FLAIR MR image.
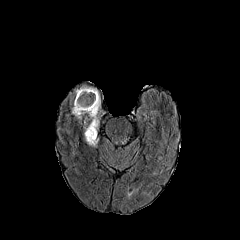
T1-weighted MR.
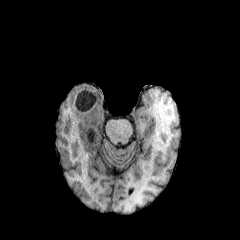
Post-contrast T1-weighted magnetic resonance.
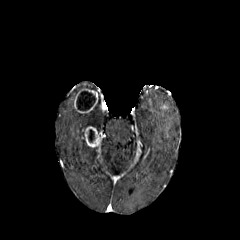
T2-weighted MRI.
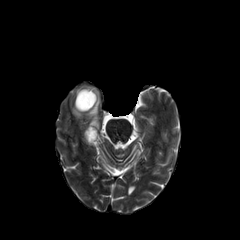
Brain
peritumoral edema at <bbox>81, 95, 100, 129</bbox>, <bbox>68, 84, 96, 119</bbox>
necrotic tumor core at <bbox>88, 129, 94, 142</bbox>, <bbox>76, 91, 95, 110</bbox>
enhancing tumor at <bbox>84, 126, 100, 147</bbox>, <bbox>73, 88, 98, 113</bbox>